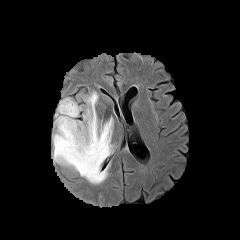
FLAIR MRI.
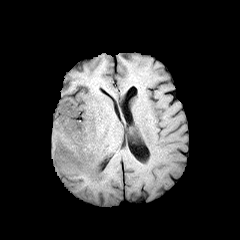
T1-weighted MRI.
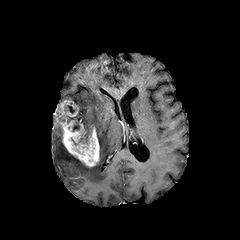
Post-contrast T1-weighted MR.
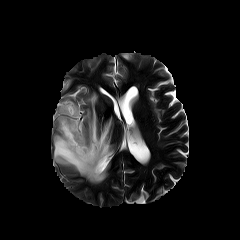
T2-weighted magnetic resonance.
Head | Axial view
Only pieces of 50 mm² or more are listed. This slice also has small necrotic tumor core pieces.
{"enhancing_tumor": ["box=[55, 100, 99, 167]"], "peritumoral_edema": ["box=[53, 91, 114, 183]"]}